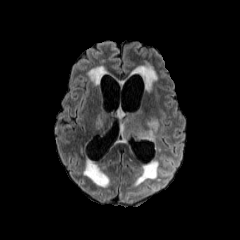
FLAIR MR.
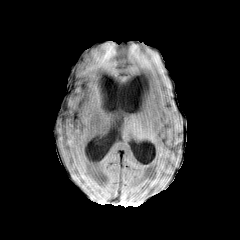
T1-weighted MRI of the same slice.
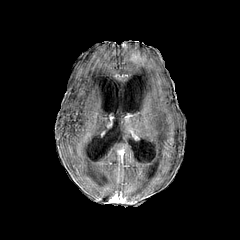
Post-contrast T1-weighted MRI.
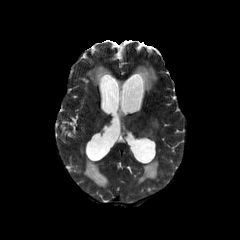
Same slice, T2-weighted magnetic resonance.
Axial plane | Brain
{"peritumoral_edema": ["(x1=97, y1=115, x2=114, y2=129)", "(x1=116, y1=107, x2=159, y2=142)"]}